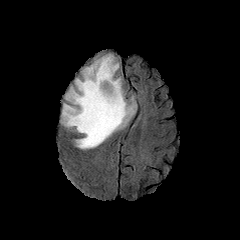
FLAIR MR.
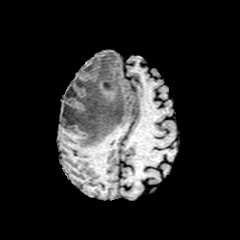
Same slice, T1-weighted MR.
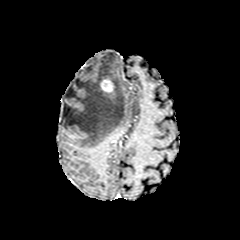
Same slice, post-contrast T1-weighted MR.
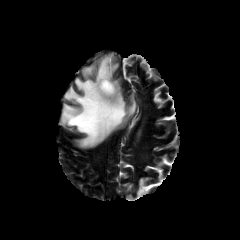
T2-weighted MR image.
240x240 px | Head | Axial view
peritumoral edema: {"x1": 61, "y1": 53, "x2": 136, "y2": 149}
enhancing tumor: {"x1": 100, "y1": 79, "x2": 113, "y2": 92}